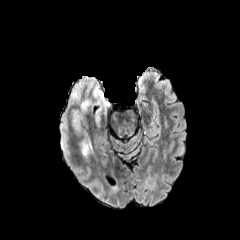
FLAIR MRI.
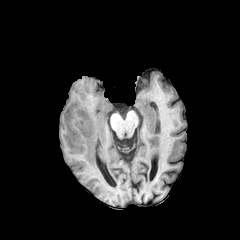
Same slice, T1-weighted MR image.
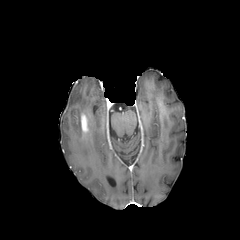
Post-contrast T1-weighted MR.
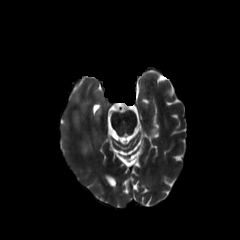
T2-weighted MR.
Axial view. Head.
enhancing tumor at box=[80, 112, 88, 134]
peritumoral edema at box=[71, 86, 109, 160]